FLAIR magnetic resonance.
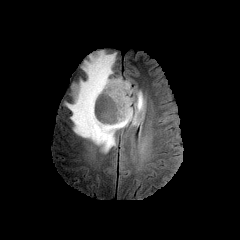
T1-weighted MR image.
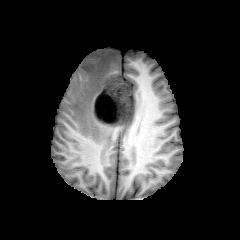
Post-contrast T1-weighted magnetic resonance.
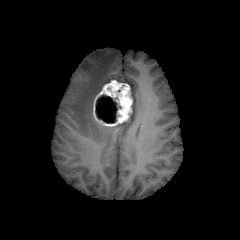
T2-weighted magnetic resonance.
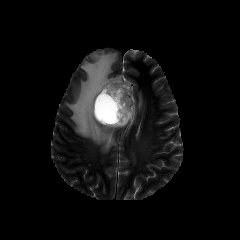
Axial view.
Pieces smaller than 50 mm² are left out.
The largest necrotic tumor core region lies within {"x1": 95, "y1": 95, "x2": 117, "y2": 123}. The enhancing tumor is at {"x1": 93, "y1": 80, "x2": 132, "y2": 126}. The largest peritumoral edema region appears at {"x1": 65, "y1": 50, "x2": 144, "y2": 152}.